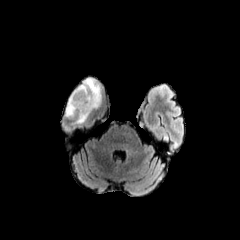
FLAIR MR image.
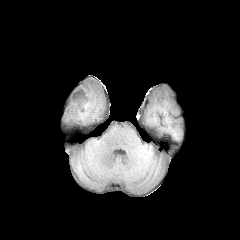
T1-weighted MR.
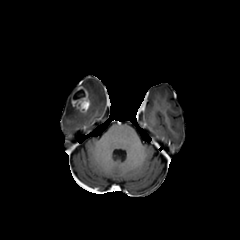
Same slice, post-contrast T1-weighted magnetic resonance.
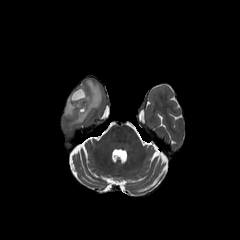
T2-weighted MRI of the same slice.
240x240
Annotated regions:
- necrotic tumor core: 73, 89, 85, 99
- peritumoral edema: 65, 78, 101, 124
- enhancing tumor: 71, 85, 89, 113